FLAIR MR image.
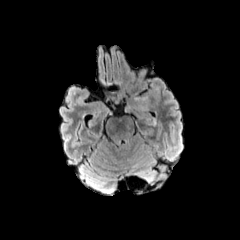
T1-weighted MR image.
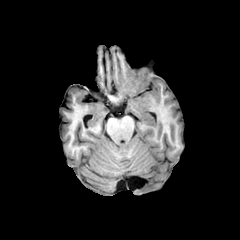
Post-contrast T1-weighted MR.
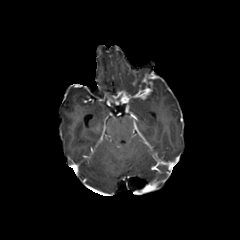
T2-weighted MR image.
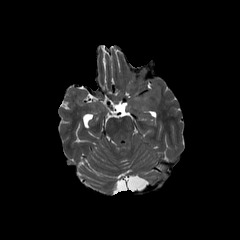
Image size 240x240 | Axial plane | Head
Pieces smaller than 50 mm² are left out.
The peritumoral edema lies within box(133, 83, 159, 105). The 2 largest enhancing tumor regions are bounded by box(112, 91, 132, 103); box(136, 81, 153, 98).